Axial view; Slice 43/155
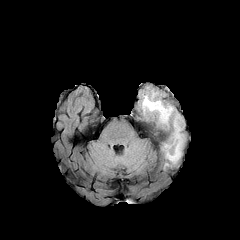
FLAIR magnetic resonance.
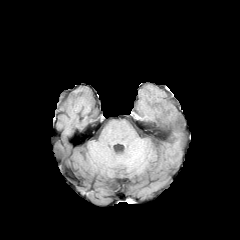
Same slice, T1-weighted magnetic resonance.
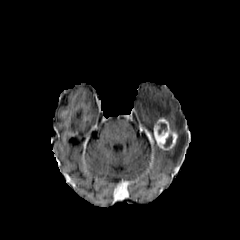
Post-contrast T1-weighted MRI.
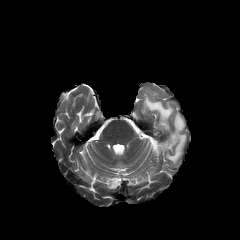
Same slice, T2-weighted MR.
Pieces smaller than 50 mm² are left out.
The largest peritumoral edema region is at bbox=[140, 87, 185, 164]. The enhancing tumor lies within bbox=[154, 118, 177, 149]. 2 necrotic tumor core regions are bounded by bbox=[164, 134, 172, 147]; bbox=[158, 123, 166, 133].